FLAIR MR image.
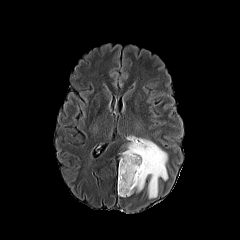
T1-weighted MRI.
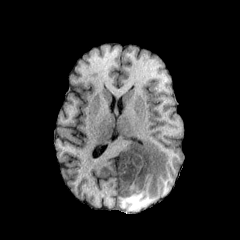
Post-contrast T1-weighted MR image.
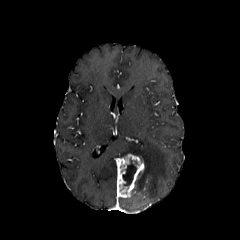
T2-weighted MRI.
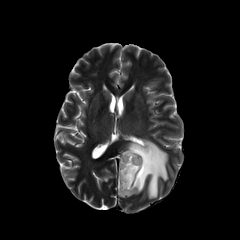
Brain
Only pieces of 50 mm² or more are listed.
necrotic tumor core at 122 159 136 185
peritumoral edema at 121 138 167 198
enhancing tumor at 117 153 144 197